Image covers 240 mm x 240 mm
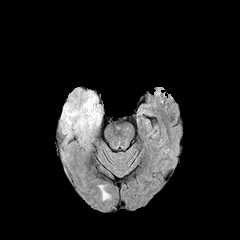
FLAIR MR image.
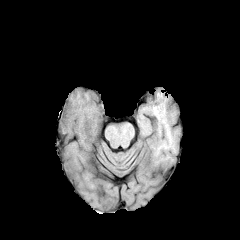
Same slice, T1-weighted MRI.
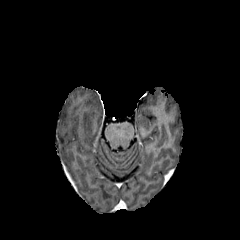
Post-contrast T1-weighted MR of the same slice.
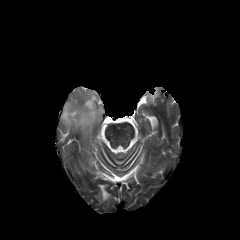
Same slice, T2-weighted MR.
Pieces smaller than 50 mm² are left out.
Findings:
* peritumoral edema: box(59, 87, 103, 135)